Head, Axial plane, Image covers 240 mm x 240 mm, Slice 75/155
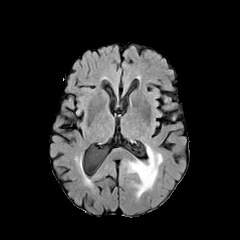
FLAIR MRI.
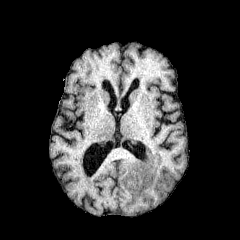
T1-weighted MR image of the same slice.
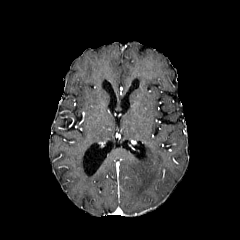
Post-contrast T1-weighted magnetic resonance.
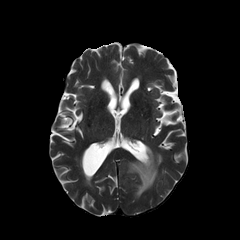
T2-weighted MR image.
peritumoral_edema:
  - (128, 146, 162, 197)